FLAIR MR image.
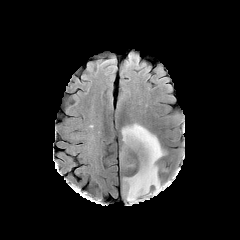
T1-weighted MRI.
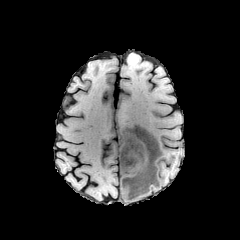
Post-contrast T1-weighted magnetic resonance.
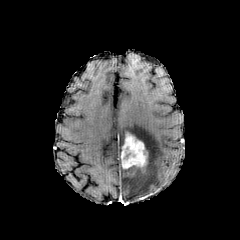
T2-weighted MR image.
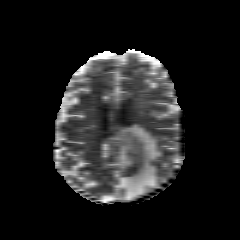
Brain
peritumoral edema — (121,123,163,201)
enhancing tumor — (120,132,147,171)